FLAIR MR image.
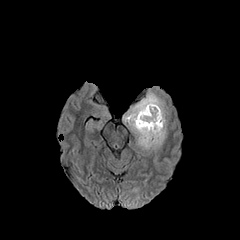
T1-weighted MR image.
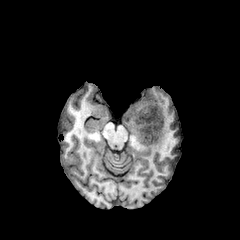
Post-contrast T1-weighted MRI.
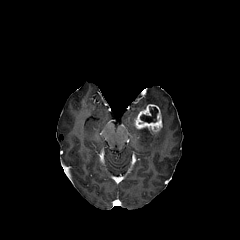
T2-weighted magnetic resonance.
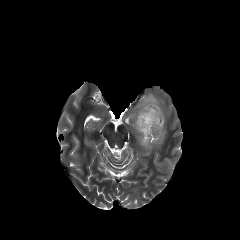
Axial view
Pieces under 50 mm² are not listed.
enhancing tumor: region(134, 104, 162, 133) | necrotic tumor core: region(140, 106, 158, 123) | peritumoral edema: region(123, 92, 166, 149)